FLAIR MR image.
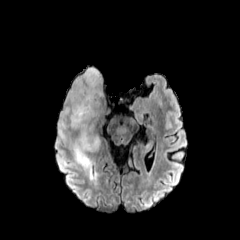
T1-weighted MR.
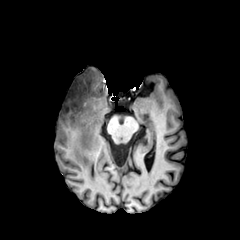
Post-contrast T1-weighted magnetic resonance.
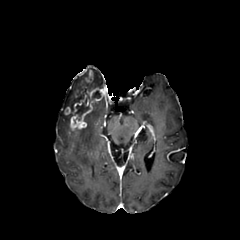
T2-weighted magnetic resonance.
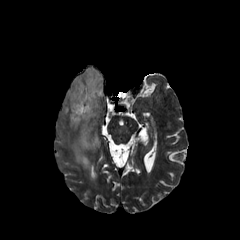
Axial view
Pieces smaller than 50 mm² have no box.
peritumoral edema: bounding box left=70, top=101, right=100, bottom=168; left=87, top=67, right=102, bottom=90; left=58, top=71, right=86, bottom=137
necrotic tumor core: bounding box left=75, top=98, right=89, bottom=116; left=92, top=90, right=100, bottom=98
enhancing tumor: bounding box left=70, top=88, right=78, bottom=102; left=64, top=69, right=104, bottom=131